FLAIR magnetic resonance.
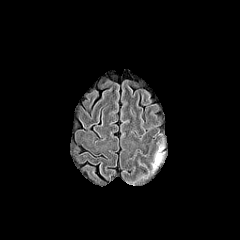
T1-weighted MR image.
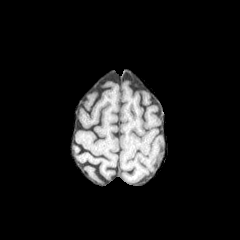
Post-contrast T1-weighted magnetic resonance.
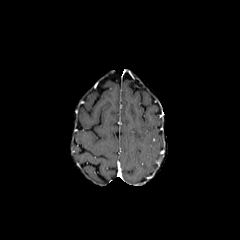
T2-weighted magnetic resonance.
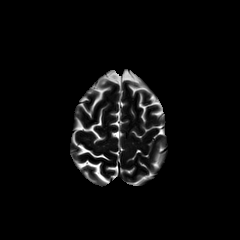
Image size 240x240, Head
peritumoral_edema:
  - [152,145,163,169]